FLAIR MR.
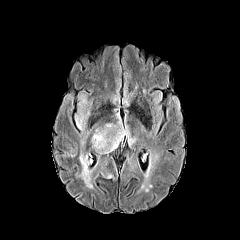
T1-weighted MRI.
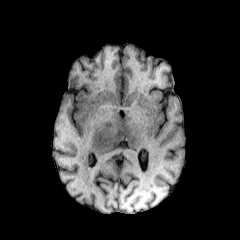
Post-contrast T1-weighted MR image.
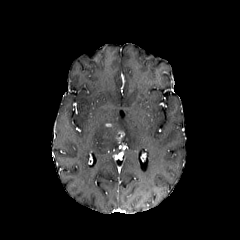
T2-weighted MR image.
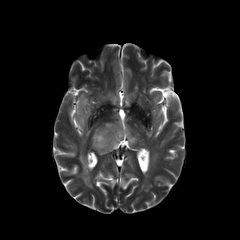
Brain | Axial slice | Image size 240x240
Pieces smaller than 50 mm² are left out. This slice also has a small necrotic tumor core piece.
peritumoral edema — box=[79, 152, 92, 188]; box=[76, 112, 89, 129]; box=[92, 111, 136, 154]
enhancing tumor — box=[116, 130, 124, 141]